Brain. Image covers 240 mm x 240 mm. Axial view.
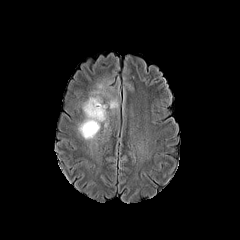
FLAIR MR.
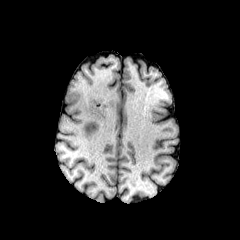
T1-weighted magnetic resonance.
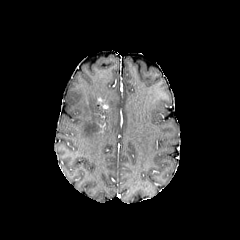
Post-contrast T1-weighted MRI of the same slice.
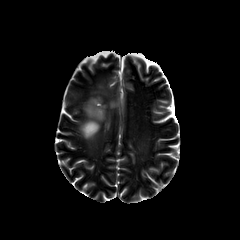
Same slice, T2-weighted MR.
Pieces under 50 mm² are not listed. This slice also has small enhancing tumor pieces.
Segmented structures:
• peritumoral edema: region(78, 78, 118, 139)